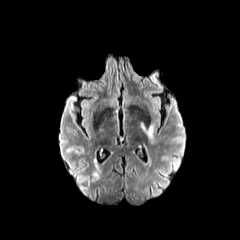
FLAIR MRI.
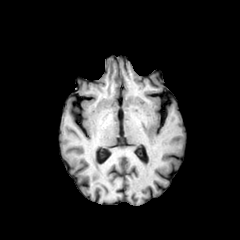
T1-weighted magnetic resonance of the same slice.
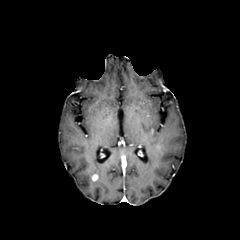
Post-contrast T1-weighted MR.
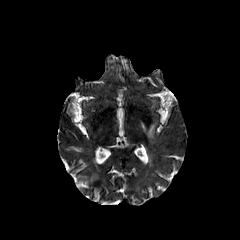
T2-weighted MR.
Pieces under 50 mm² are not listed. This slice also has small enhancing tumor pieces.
peritumoral edema — bbox(141, 123, 154, 143)